Slice 117/155. Axial view. Head. 240x240.
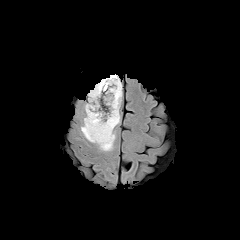
FLAIR MRI.
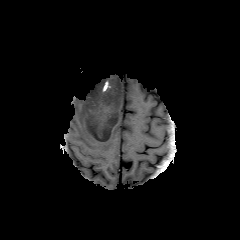
T1-weighted magnetic resonance.
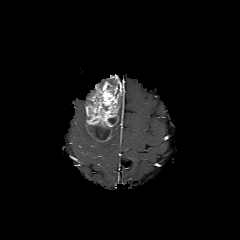
Post-contrast T1-weighted MRI.
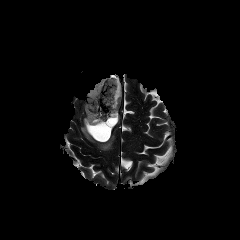
T2-weighted MR image of the same slice.
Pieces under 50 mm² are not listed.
enhancing tumor: 85:74:121:141
peritumoral edema: 80:112:119:151
necrotic tumor core: 88:125:110:140